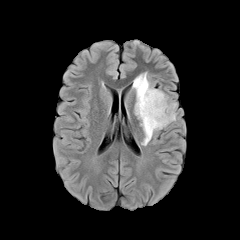
FLAIR MR image.
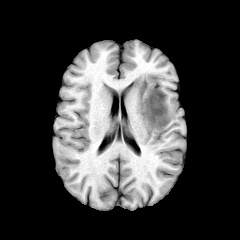
T1-weighted magnetic resonance.
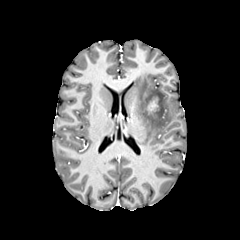
Same slice, post-contrast T1-weighted MR image.
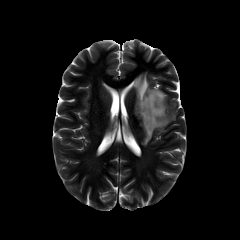
T2-weighted MR.
Axial view.
<segmentation>
  <peritumoral_edema><box>133,72,176,145</box></peritumoral_edema>
  <enhancing_tumor><box>147,97,158,114</box></enhancing_tumor>
</segmentation>